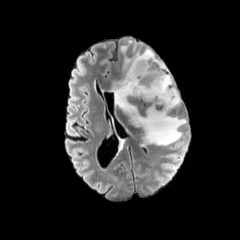
FLAIR MR.
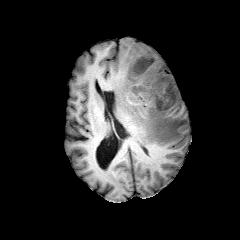
T1-weighted MR image of the same slice.
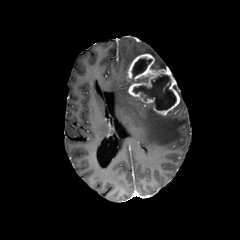
Post-contrast T1-weighted MR.
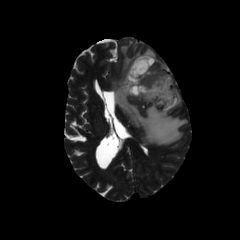
Same slice, T2-weighted MR image.
Axial slice. Brain.
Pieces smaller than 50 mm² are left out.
peritumoral_edema:
  - left=111, top=39, right=187, bottom=145
necrotic_tumor_core:
  - left=133, top=74, right=176, bottom=110
  - left=132, top=58, right=151, bottom=77
enhancing_tumor:
  - left=127, top=53, right=179, bottom=115